240x240 px, Brain
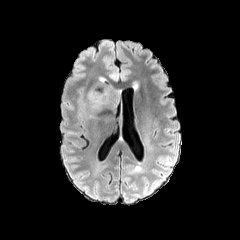
FLAIR magnetic resonance.
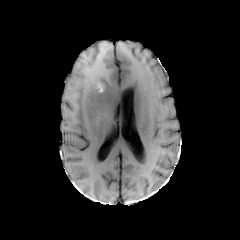
T1-weighted magnetic resonance of the same slice.
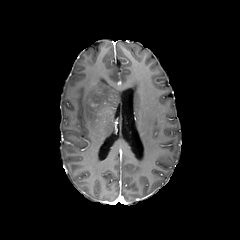
Post-contrast T1-weighted MRI.
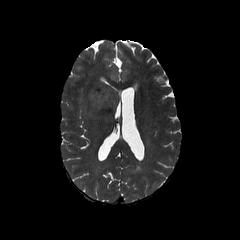
Same slice, T2-weighted MR image.
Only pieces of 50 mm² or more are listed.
The largest peritumoral edema region is located at 83,77,119,115.